Head | Slice index 67 | Axial view
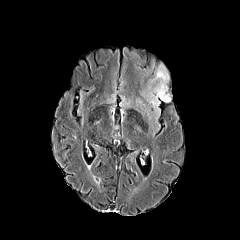
FLAIR MR image.
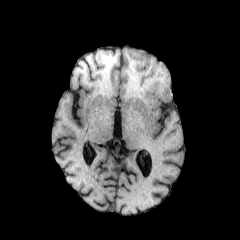
T1-weighted MR of the same slice.
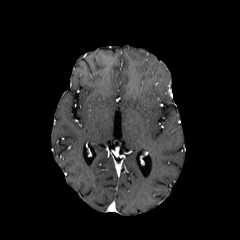
Post-contrast T1-weighted MR.
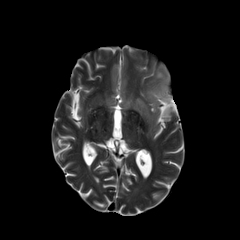
T2-weighted MRI of the same slice.
peritumoral edema at 148 64 170 111